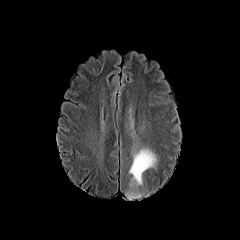
FLAIR MR.
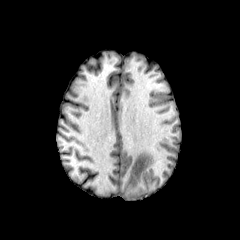
T1-weighted MR image.
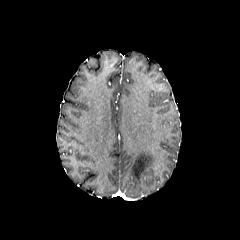
Post-contrast T1-weighted MR.
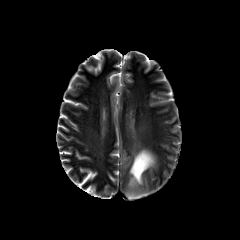
T2-weighted MR image of the same slice.
peritumoral edema: left=125, top=191, right=144, bottom=200; left=129, top=147, right=158, bottom=187